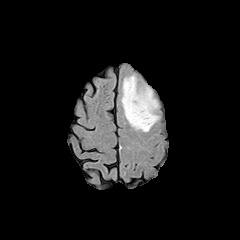
FLAIR MR.
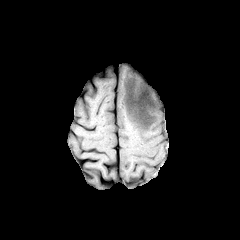
T1-weighted magnetic resonance.
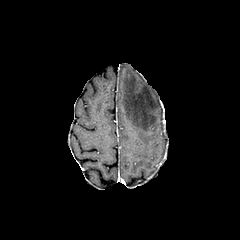
Post-contrast T1-weighted MR.
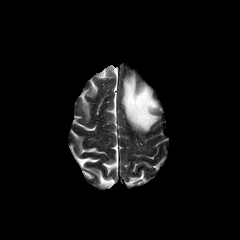
T2-weighted MR image.
Head. Axial view.
The peritumoral edema is located at rect(121, 75, 159, 131).